240x240 px, Axial plane, Slice 74 of 155
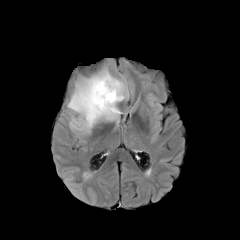
FLAIR magnetic resonance.
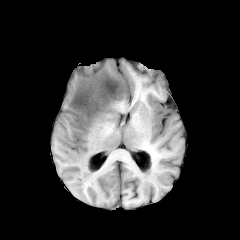
T1-weighted MR image.
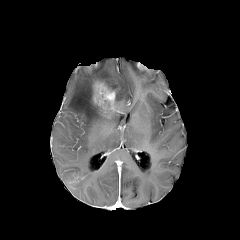
Post-contrast T1-weighted MRI of the same slice.
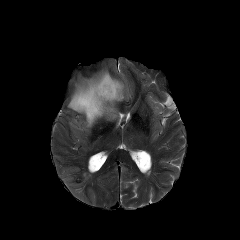
Same slice, T2-weighted MR image.
<segmentation>
  <peritumoral_edema>{"x1": 67, "y1": 59, "x2": 128, "y2": 132}</peritumoral_edema>
  <enhancing_tumor>{"x1": 92, "y1": 80, "x2": 118, "y2": 113}</enhancing_tumor>
</segmentation>